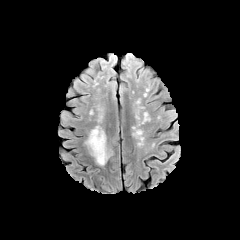
FLAIR MRI.
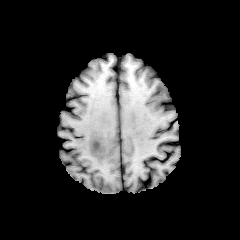
T1-weighted MR image.
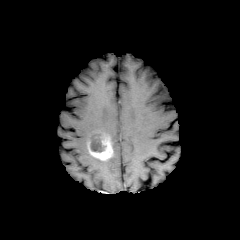
Post-contrast T1-weighted magnetic resonance of the same slice.
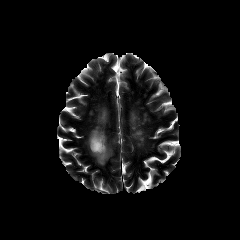
T2-weighted magnetic resonance.
Brain. 240x240 px.
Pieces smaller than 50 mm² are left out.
enhancing tumor: (left=87, top=133, right=113, bottom=160) | necrotic tumor core: (left=90, top=138, right=103, bottom=151) | peritumoral edema: (left=89, top=126, right=104, bottom=136)